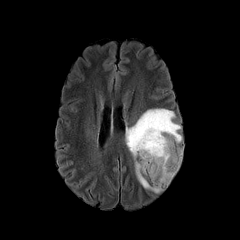
FLAIR MR.
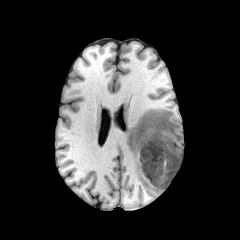
T1-weighted MRI.
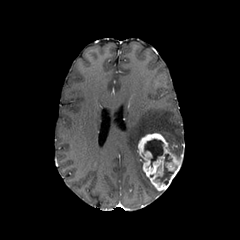
Post-contrast T1-weighted MRI.
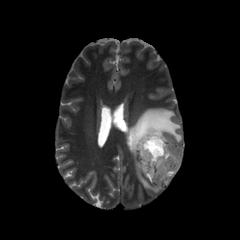
Same slice, T2-weighted MRI.
Axial slice.
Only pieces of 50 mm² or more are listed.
Segmented structures:
- peritumoral edema: bbox(125, 108, 182, 192)
- enhancing tumor: bbox(137, 133, 182, 191)
- necrotic tumor core: bbox(144, 139, 163, 165); bbox(157, 164, 173, 184)